Slice index 64; Brain
FLAIR MRI.
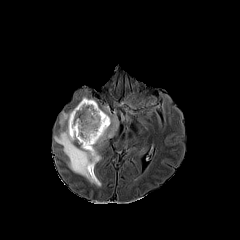
T1-weighted MR.
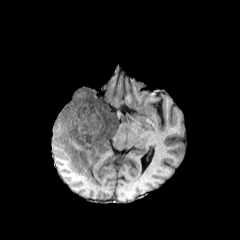
Post-contrast T1-weighted MR.
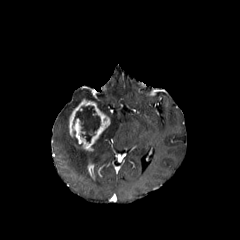
T2-weighted magnetic resonance.
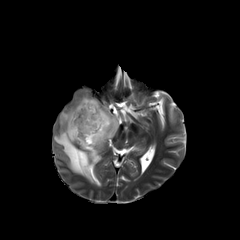
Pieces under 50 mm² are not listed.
{
  "enhancing_tumor": [
    "[88,163,95,181]",
    "[69,98,110,151]"
  ],
  "peritumoral_edema": [
    "[54,105,118,186]"
  ],
  "necrotic_tumor_core": [
    "[73,106,100,142]"
  ]
}